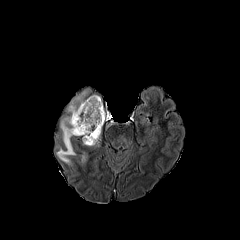
FLAIR magnetic resonance.
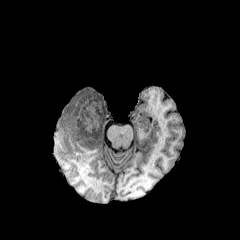
T1-weighted MR of the same slice.
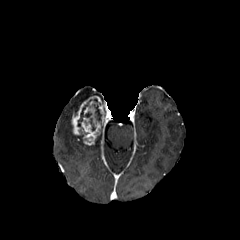
Post-contrast T1-weighted MR image.
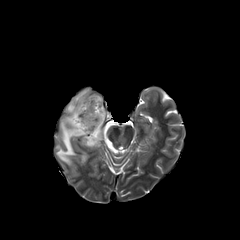
T2-weighted MR.
Head
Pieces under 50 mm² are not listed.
Segmented structures:
• peritumoral edema: left=81, top=152, right=86, bottom=163; left=56, top=88, right=90, bottom=164
• enhancing tumor: left=71, top=95, right=105, bottom=145
• necrotic tumor core: left=77, top=103, right=91, bottom=126; left=93, top=104, right=101, bottom=121